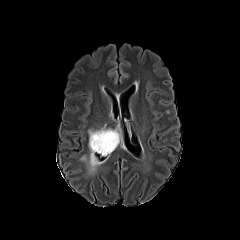
FLAIR magnetic resonance.
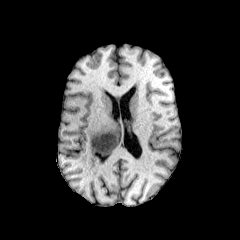
T1-weighted MR of the same slice.
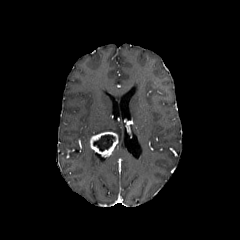
Post-contrast T1-weighted MR image of the same slice.
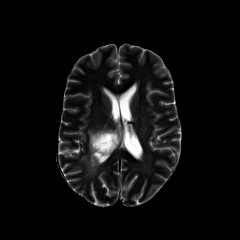
T2-weighted MR image of the same slice.
Axial view
Segmented structures:
• peritumoral edema: box=[88, 124, 121, 143]; box=[81, 148, 103, 174]
• necrotic tumor core: box=[93, 134, 115, 151]
• enhancing tumor: box=[90, 132, 118, 157]